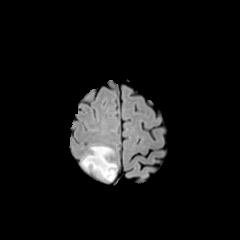
FLAIR MR.
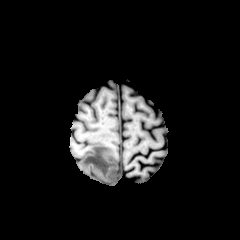
T1-weighted magnetic resonance.
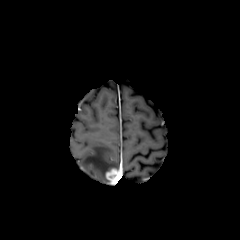
Post-contrast T1-weighted MRI.
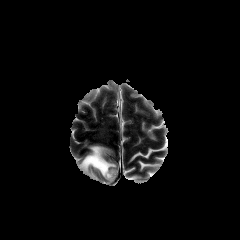
T2-weighted MR image of the same slice.
Image size 240x240
<segmentation>
  <peritumoral_edema>[82, 146, 115, 178]</peritumoral_edema>
  <enhancing_tumor>[106, 168, 117, 183]</enhancing_tumor>
</segmentation>